Image covers 240 mm x 240 mm; Slice 97/155
FLAIR MRI.
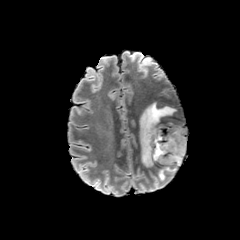
T1-weighted magnetic resonance.
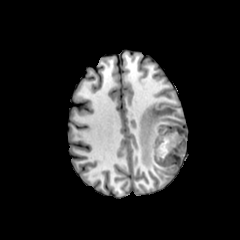
Post-contrast T1-weighted MR image.
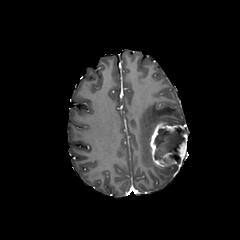
T2-weighted MR.
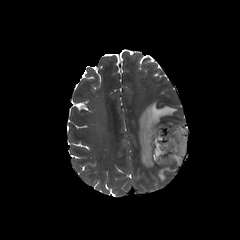
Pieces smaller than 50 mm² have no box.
* necrotic tumor core: {"x1": 154, "y1": 126, "x2": 184, "y2": 163}
* peritumoral edema: {"x1": 139, "y1": 102, "x2": 177, "y2": 168}, {"x1": 158, "y1": 165, "x2": 178, "y2": 179}
* enhancing tumor: {"x1": 149, "y1": 123, "x2": 187, "y2": 166}